Image size 240x240
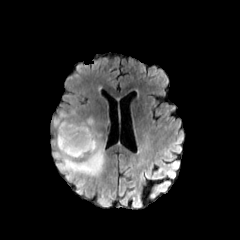
FLAIR MR image.
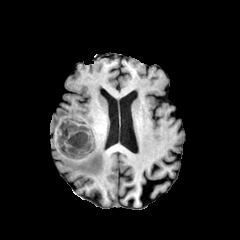
T1-weighted MR image.
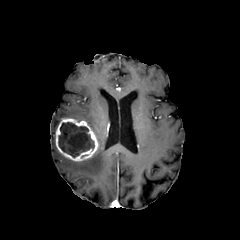
Post-contrast T1-weighted magnetic resonance.
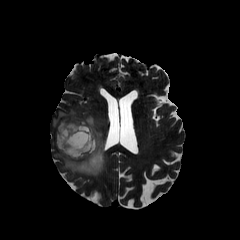
T2-weighted MR of the same slice.
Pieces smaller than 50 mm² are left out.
enhancing_tumor:
  - (55, 118, 98, 161)
peritumoral_edema:
  - (52, 108, 105, 200)
necrotic_tumor_core:
  - (58, 122, 94, 157)